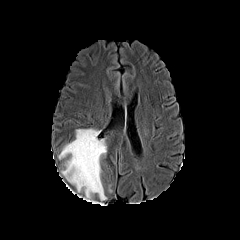
FLAIR MRI.
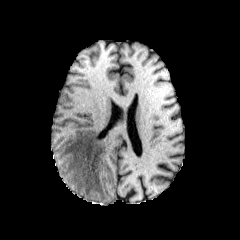
T1-weighted MRI.
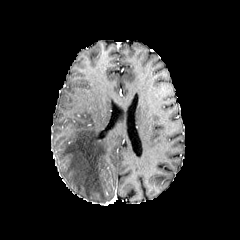
Post-contrast T1-weighted MRI of the same slice.
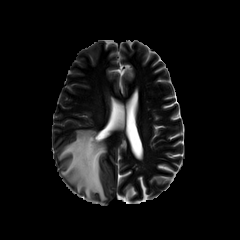
T2-weighted MRI.
Axial view
peritumoral_edema:
  - region(58, 129, 106, 200)